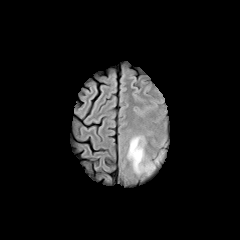
FLAIR magnetic resonance.
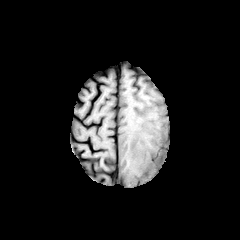
Same slice, T1-weighted MRI.
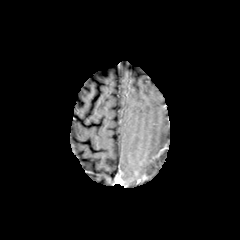
Post-contrast T1-weighted MR image.
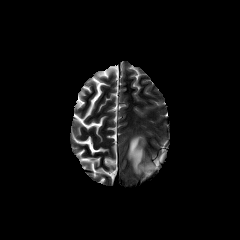
T2-weighted MR image.
Brain; Axial view
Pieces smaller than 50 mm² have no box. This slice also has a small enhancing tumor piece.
peritumoral_edema:
  - 127:136:163:175